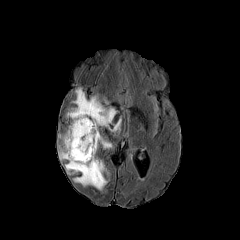
FLAIR MRI.
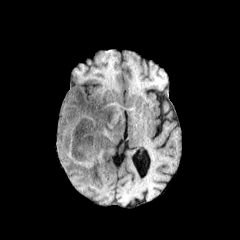
T1-weighted MRI.
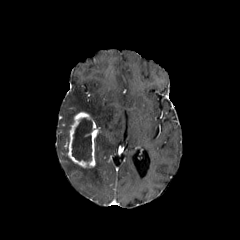
Post-contrast T1-weighted magnetic resonance of the same slice.
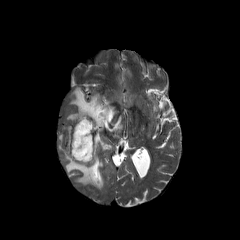
Same slice, T2-weighted MR.
240x240; Axial slice
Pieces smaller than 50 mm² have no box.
The enhancing tumor is bounded by (67, 112, 98, 167). The 2 largest peritumoral edema regions are bounded by (58, 126, 111, 189), (67, 88, 120, 131). The necrotic tumor core is at (72, 118, 92, 161).